Image width 240 mm
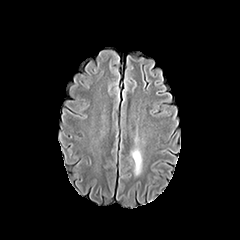
FLAIR MR image.
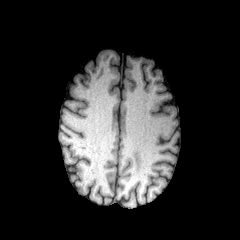
Same slice, T1-weighted MR image.
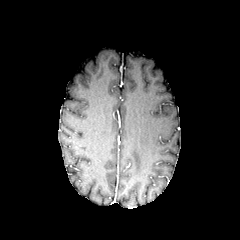
Same slice, post-contrast T1-weighted magnetic resonance.
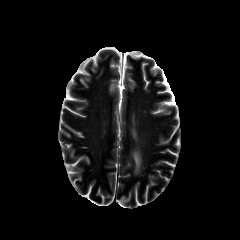
Same slice, T2-weighted MR image.
peritumoral edema: (x1=131, y1=148, x2=142, y2=174)